FLAIR magnetic resonance.
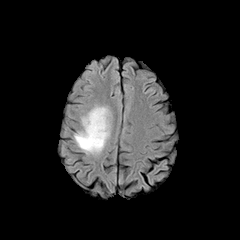
T1-weighted magnetic resonance.
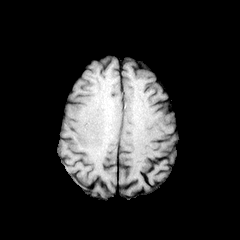
Post-contrast T1-weighted MR.
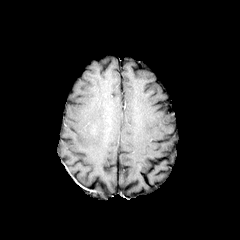
T2-weighted MRI.
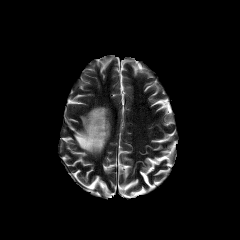
Brain
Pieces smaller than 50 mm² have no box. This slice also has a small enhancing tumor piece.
* peritumoral edema: l=74, t=107, r=109, b=153